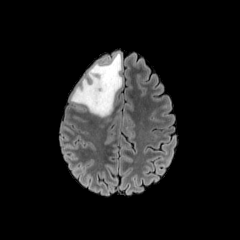
FLAIR magnetic resonance.
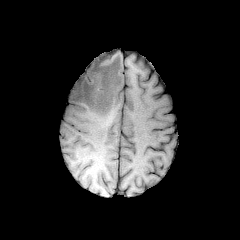
T1-weighted magnetic resonance.
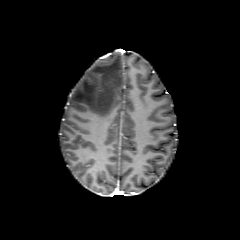
Post-contrast T1-weighted magnetic resonance.
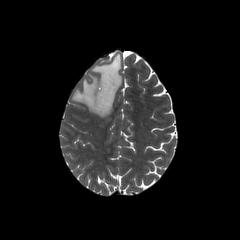
T2-weighted magnetic resonance.
240x240; Head
peritumoral_edema:
  - {"x1": 70, "y1": 53, "x2": 122, "y2": 117}